FLAIR MR.
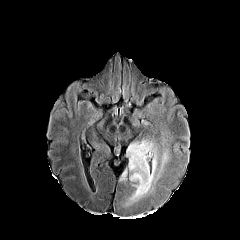
T1-weighted MR image.
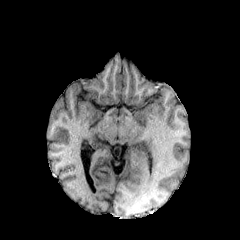
Post-contrast T1-weighted MRI.
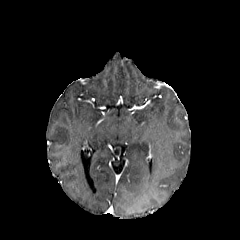
T2-weighted MR.
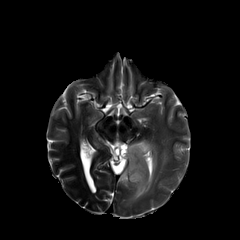
Brain; Axial slice
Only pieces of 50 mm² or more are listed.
Annotated regions:
• peritumoral edema: [127,139,157,200], [162,152,167,166], [120,169,127,182]